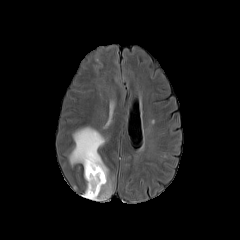
FLAIR MR.
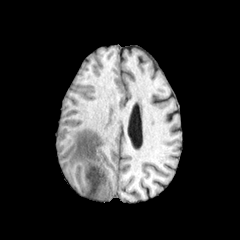
T1-weighted MR image.
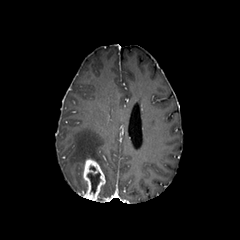
Same slice, post-contrast T1-weighted MRI.
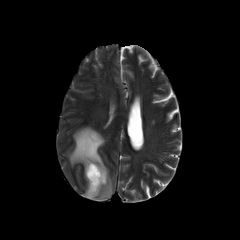
T2-weighted MR image.
Brain.
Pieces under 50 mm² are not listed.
The largest necrotic tumor core region is at {"x1": 87, "y1": 172, "x2": 100, "y2": 193}. The largest peritumoral edema region lies within {"x1": 69, "y1": 126, "x2": 113, "y2": 200}. The enhancing tumor is bounded by {"x1": 82, "y1": 159, "x2": 105, "y2": 200}.